Image covers 240 mm x 240 mm | Image size 240x240 | Head
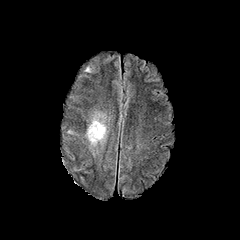
FLAIR MR.
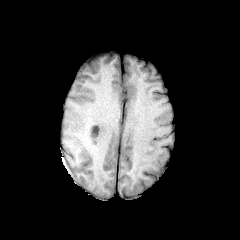
T1-weighted magnetic resonance of the same slice.
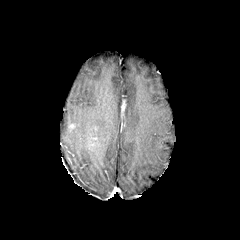
Post-contrast T1-weighted MR of the same slice.
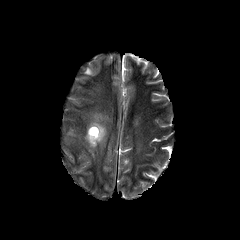
Same slice, T2-weighted MRI.
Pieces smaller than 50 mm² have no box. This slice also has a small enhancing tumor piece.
The largest peritumoral edema region appears at (87, 119, 105, 145).